FLAIR magnetic resonance.
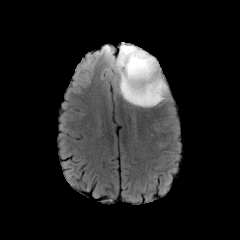
T1-weighted MR.
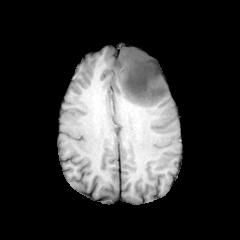
Post-contrast T1-weighted magnetic resonance.
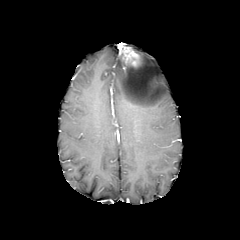
T2-weighted magnetic resonance.
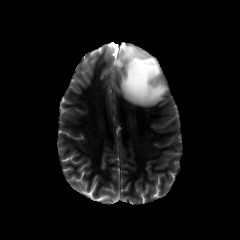
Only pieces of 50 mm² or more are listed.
enhancing tumor: <bbox>119, 43, 140, 66</bbox> | peritumoral edema: <bbox>111, 46, 168, 107</bbox>